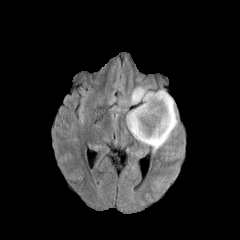
FLAIR MR.
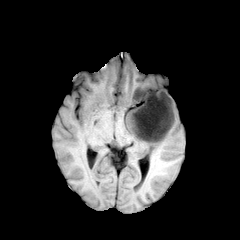
Same slice, T1-weighted magnetic resonance.
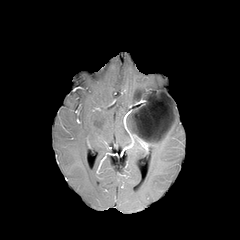
Post-contrast T1-weighted MR image.
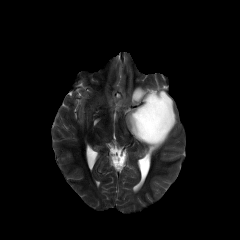
T2-weighted MR image.
Brain
peritumoral edema — [126, 87, 177, 152]
enhancing tumor — [132, 92, 173, 142]
necrotic tumor core — [133, 94, 171, 140]